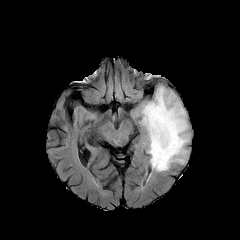
FLAIR magnetic resonance.
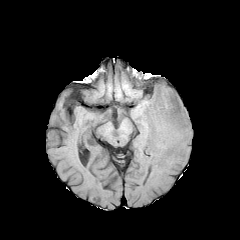
T1-weighted MR image.
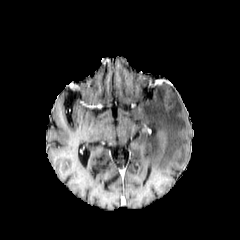
Same slice, post-contrast T1-weighted magnetic resonance.
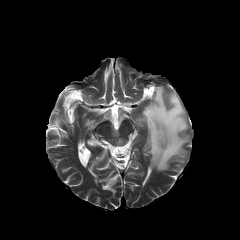
T2-weighted MR image.
Brain | Axial plane | 240x240 px
<segmentation>
  <peritumoral_edema>x1=141 y1=85 x2=189 y2=171</peritumoral_edema>
</segmentation>